Axial plane. Head. Image width 240 mm, 1.00 mm slice spacing. Slice index 100.
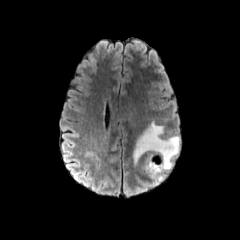
FLAIR MR image.
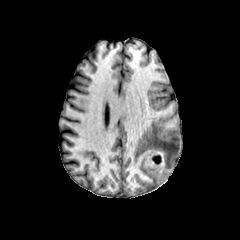
Same slice, T1-weighted MR.
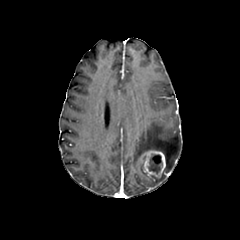
Post-contrast T1-weighted MR image.
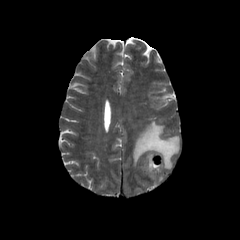
T2-weighted magnetic resonance.
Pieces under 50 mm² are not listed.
enhancing tumor: [x1=138, y1=148, x2=166, y2=180] | peritumoral edema: [x1=133, y1=122, x2=179, y2=185] | necrotic tumor core: [x1=148, y1=154, x2=162, y2=173]